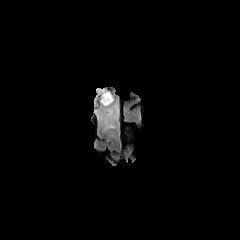
FLAIR magnetic resonance.
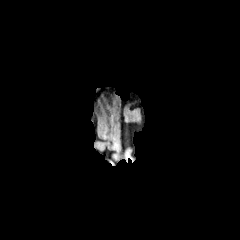
Same slice, T1-weighted magnetic resonance.
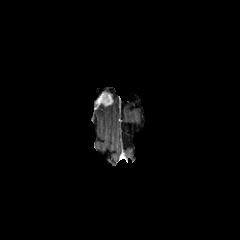
Post-contrast T1-weighted magnetic resonance.
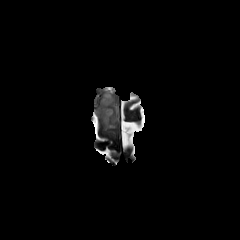
T2-weighted MR image of the same slice.
240x240 | Axial plane
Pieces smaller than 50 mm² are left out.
enhancing tumor: region(98, 91, 112, 106) | peritumoral edema: region(94, 96, 119, 131)